FLAIR MRI.
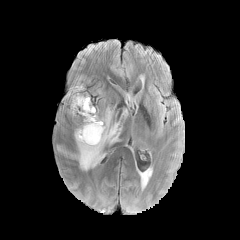
T1-weighted magnetic resonance.
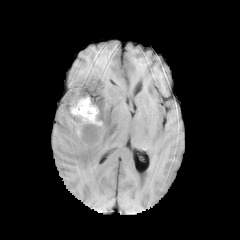
Post-contrast T1-weighted magnetic resonance.
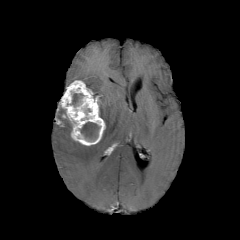
T2-weighted MRI.
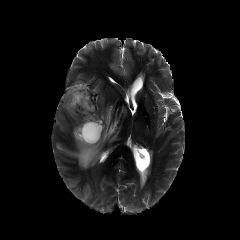
Axial view; Brain
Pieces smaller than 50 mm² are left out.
<segmentation>
  <peritumoral_edema><box>57,107,121,170</box></peritumoral_edema>
  <enhancing_tumor><box>60,80,105,145</box></enhancing_tumor>
  <necrotic_tumor_core><box>80,122,99,140</box>, <box>72,93,82,106</box></necrotic_tumor_core>
</segmentation>